Image width 240 mm, 1.00 mm slice spacing; Brain; Axial plane
FLAIR MR image.
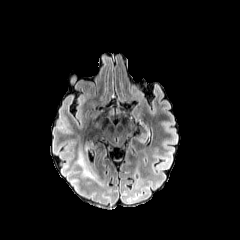
T1-weighted MR.
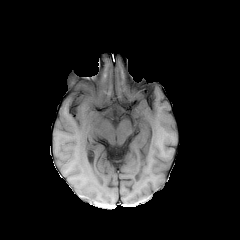
Post-contrast T1-weighted MR.
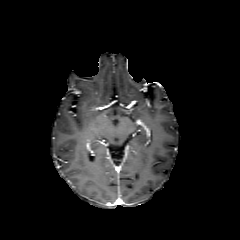
T2-weighted MRI.
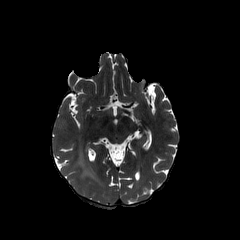
Annotated regions:
• peritumoral edema: [77,153,93,177]